Slice index 71; Axial view; Head
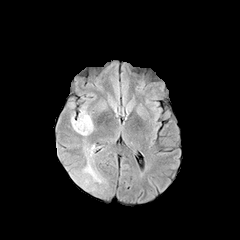
FLAIR MR.
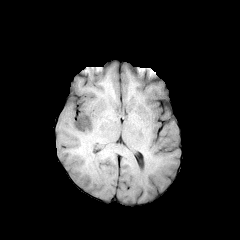
Same slice, T1-weighted MRI.
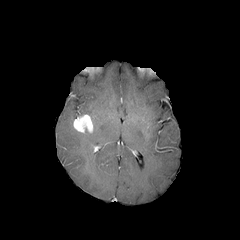
Post-contrast T1-weighted MR image.
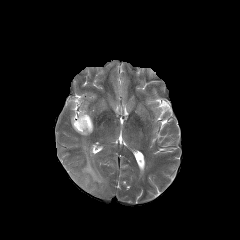
T2-weighted magnetic resonance of the same slice.
enhancing tumor = box(73, 114, 93, 132)
peritumoral edema = box(78, 105, 91, 118); box(71, 114, 90, 136); box(77, 144, 105, 191)